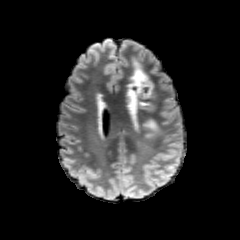
FLAIR MR.
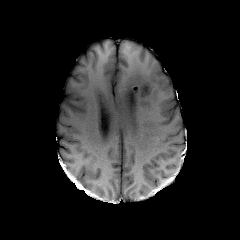
Same slice, T1-weighted MR.
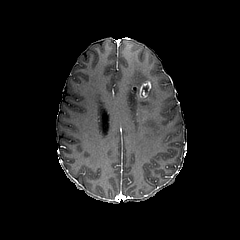
Post-contrast T1-weighted MR.
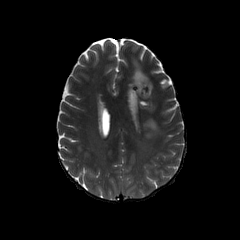
Same slice, T2-weighted MR.
Axial plane
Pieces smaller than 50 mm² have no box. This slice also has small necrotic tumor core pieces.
enhancing_tumor:
  - (x1=138, y1=81, x2=151, y2=97)
peritumoral_edema:
  - (x1=128, y1=58, x2=150, y2=110)
  - (x1=144, y1=120, x2=160, y2=137)